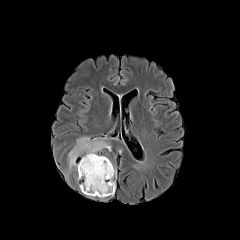
FLAIR MR image.
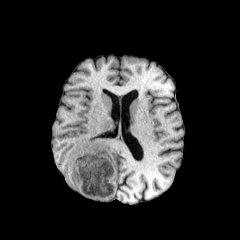
T1-weighted magnetic resonance of the same slice.
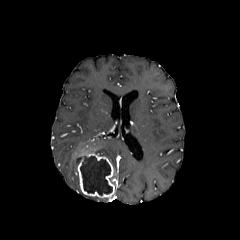
Same slice, post-contrast T1-weighted MR image.
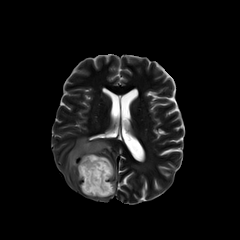
Same slice, T2-weighted MRI.
Head
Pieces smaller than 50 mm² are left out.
necrotic tumor core: (x1=80, y1=156, x2=112, y2=195)
enhancing tumor: (x1=77, y1=152, x2=115, y2=198)
peritumoral edema: (x1=68, y1=135, x2=111, y2=171)